FLAIR MRI.
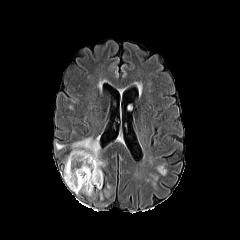
T1-weighted MRI.
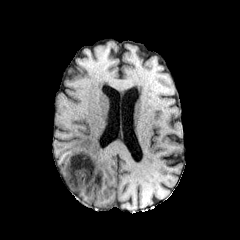
Post-contrast T1-weighted MR image.
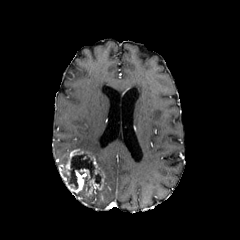
T2-weighted MRI.
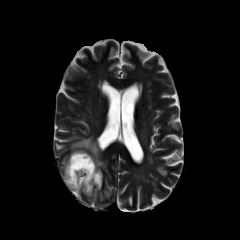
Axial view
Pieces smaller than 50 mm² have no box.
The largest necrotic tumor core region lies within [68, 153, 101, 188]. The largest peritumoral edema region is bounded by [71, 137, 105, 167]. The largest enhancing tumor region appears at [60, 149, 104, 196].